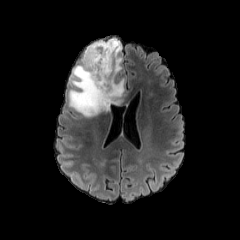
FLAIR MRI.
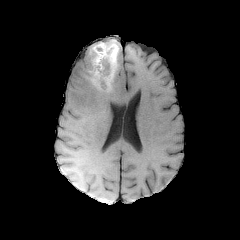
T1-weighted magnetic resonance of the same slice.
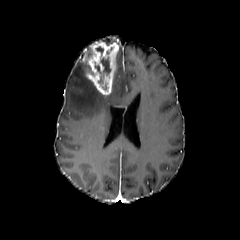
Post-contrast T1-weighted MRI.
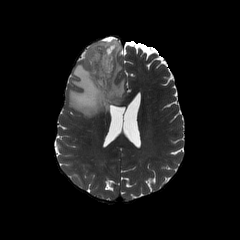
T2-weighted MR of the same slice.
Axial view, Brain
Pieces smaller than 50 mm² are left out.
peritumoral_edema:
  - x1=68, y1=39, x2=127, y2=117
enhancing_tumor:
  - x1=82, y1=41, x2=118, y2=95
necrotic_tumor_core:
  - x1=101, y1=58, x2=110, y2=73